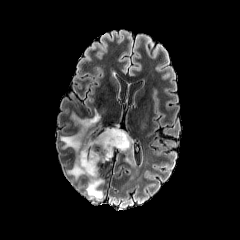
FLAIR MRI.
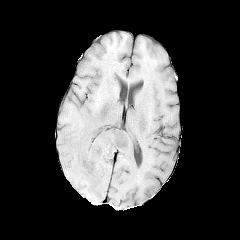
T1-weighted MR image.
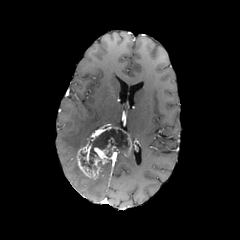
Post-contrast T1-weighted MR image of the same slice.
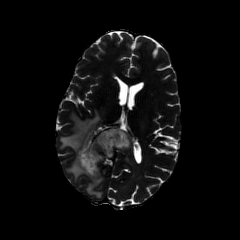
T2-weighted MR image.
Image size 240x240. Axial view. Brain.
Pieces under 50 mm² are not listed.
3 peritumoral edema regions are bounded by 87:179:102:198, 60:109:100:155, 68:159:83:178. The largest necrotic tumor core region lies within 80:129:129:168. The largest enhancing tumor region appears at 76:127:133:179.